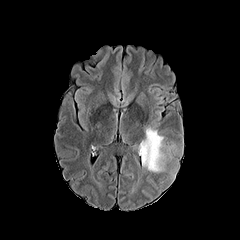
FLAIR magnetic resonance.
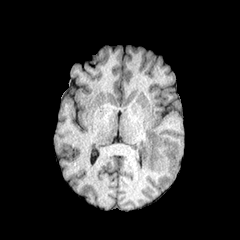
T1-weighted MRI.
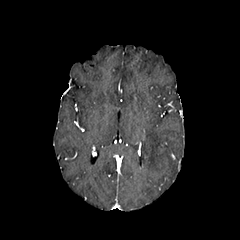
Post-contrast T1-weighted MR.
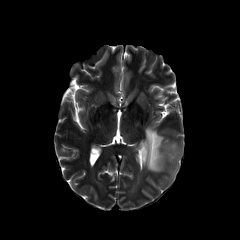
T2-weighted magnetic resonance.
Brain
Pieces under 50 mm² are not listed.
The largest peritumoral edema region is at {"x1": 141, "y1": 126, "x2": 165, "y2": 172}.